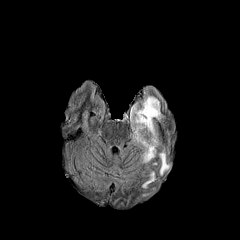
FLAIR MRI.
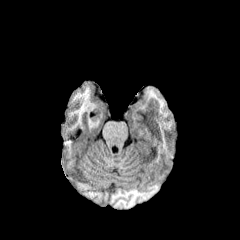
Same slice, T1-weighted MRI.
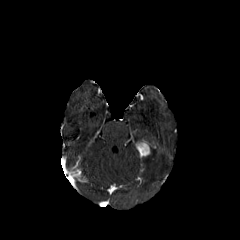
Post-contrast T1-weighted MRI.
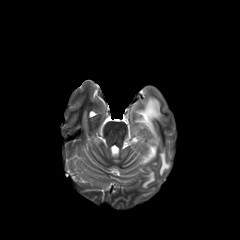
T2-weighted MR image.
Brain
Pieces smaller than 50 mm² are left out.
enhancing tumor: rect(135, 139, 155, 158)
peritumoral edema: rect(130, 96, 162, 147); rect(159, 150, 170, 175); rect(142, 171, 154, 188); rect(141, 146, 156, 163)